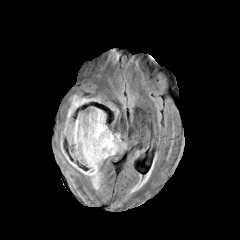
FLAIR MR.
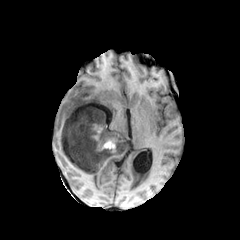
T1-weighted MRI.
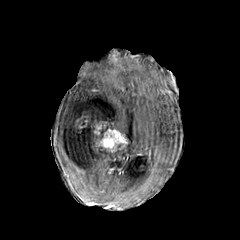
Post-contrast T1-weighted MR of the same slice.
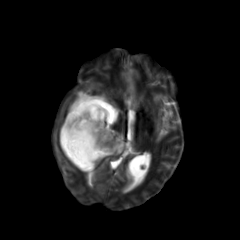
T2-weighted MR of the same slice.
Head
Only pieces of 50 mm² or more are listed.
peritumoral edema = [x1=65, y1=145, x2=126, y2=189], [x1=63, y1=93, x2=119, y2=135]
necrotic tumor core = [x1=62, y1=118, x2=103, y2=167]
enhancing tumor = [x1=95, y1=129, x2=127, y2=152], [x1=94, y1=121, x2=102, y2=135]